FLAIR MRI.
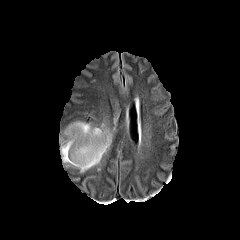
T1-weighted magnetic resonance.
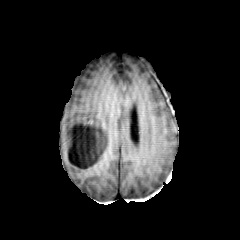
Post-contrast T1-weighted magnetic resonance.
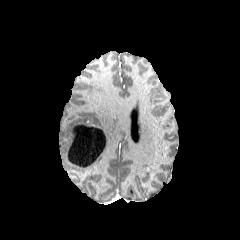
T2-weighted MRI.
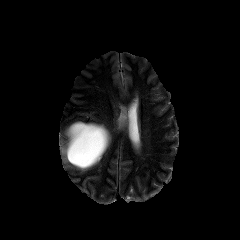
240x240, Head, Axial plane
{
  "peritumoral_edema": [
    "x1=59 y1=121 x2=112 y2=172"
  ],
  "necrotic_tumor_core": [
    "x1=67 y1=124 x2=106 y2=167"
  ]
}